FLAIR magnetic resonance.
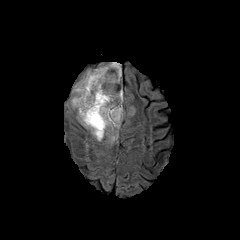
T1-weighted magnetic resonance.
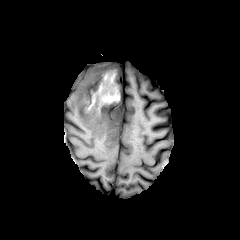
Post-contrast T1-weighted MR image.
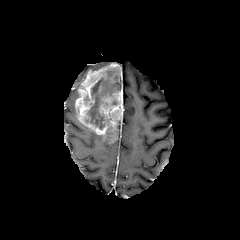
T2-weighted MRI.
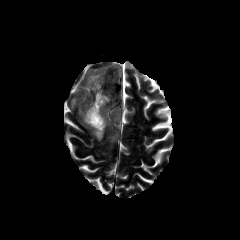
Axial view. Brain.
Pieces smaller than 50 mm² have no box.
The enhancing tumor is located at box=[75, 62, 123, 143]. The 2 largest peritumoral edema regions appear at box=[91, 131, 104, 141]; box=[71, 76, 85, 109]. The largest necrotic tumor core region is located at box=[86, 69, 120, 129].